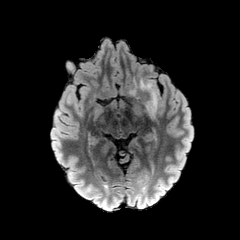
FLAIR magnetic resonance.
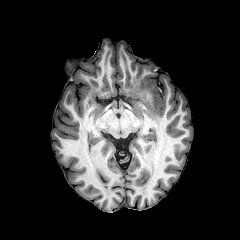
T1-weighted MRI.
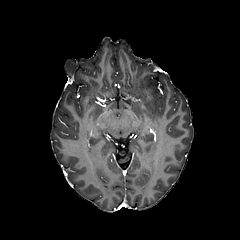
Post-contrast T1-weighted MR of the same slice.
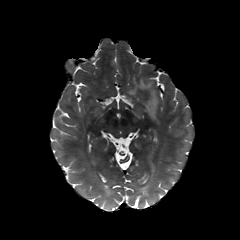
T2-weighted MR image.
240x240 px. Head.
Annotated regions:
• peritumoral edema: x1=131 y1=79 x2=137 y2=94, x1=139 y1=78 x2=158 y2=118